Slice 106/155. Image size 240x240. Head.
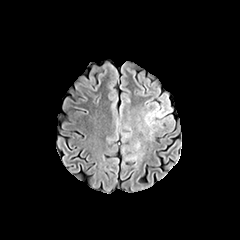
FLAIR MR.
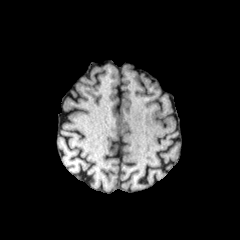
T1-weighted MR image.
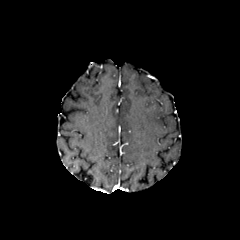
Post-contrast T1-weighted magnetic resonance.
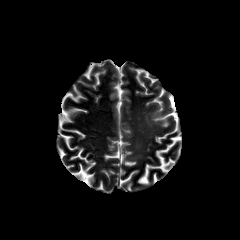
T2-weighted MR image.
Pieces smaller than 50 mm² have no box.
The largest peritumoral edema region appears at 144, 111, 160, 126.